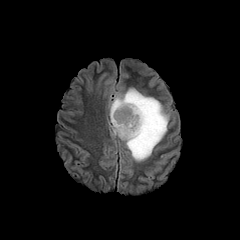
FLAIR MRI.
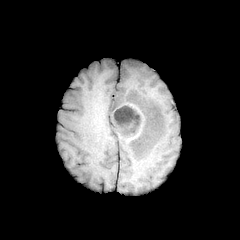
T1-weighted MRI.
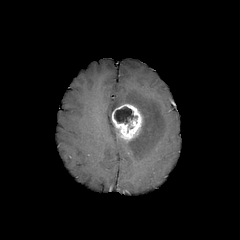
Post-contrast T1-weighted magnetic resonance.
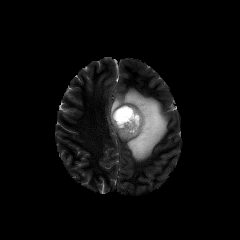
T2-weighted magnetic resonance.
<segmentation>
  <peritumoral_edema>box(109, 88, 169, 161); box(110, 123, 117, 136)</peritumoral_edema>
  <enhancing_tumor>box(111, 104, 142, 140)</enhancing_tumor>
  <necrotic_tumor_core>box(114, 107, 137, 123)</necrotic_tumor_core>
</segmentation>